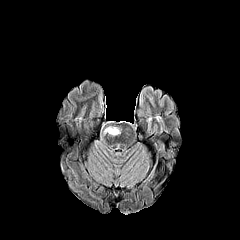
FLAIR MR image.
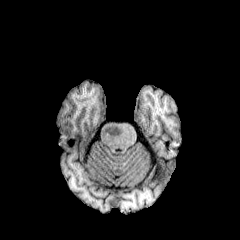
T1-weighted MR image of the same slice.
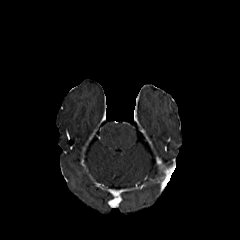
Post-contrast T1-weighted magnetic resonance of the same slice.
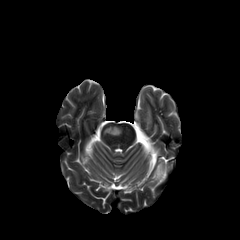
Same slice, T2-weighted MR image.
Head
The peritumoral edema is located at 103 126 120 135.